Image size 240x240 | Axial plane | Brain
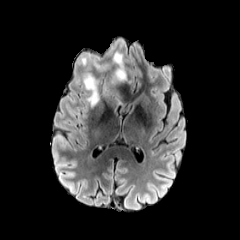
FLAIR magnetic resonance.
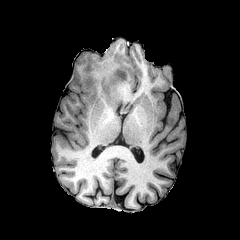
Same slice, T1-weighted MR.
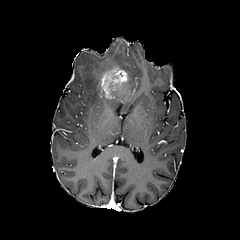
Post-contrast T1-weighted magnetic resonance.
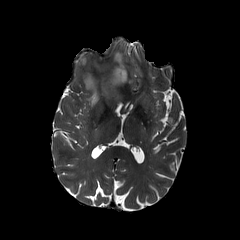
T2-weighted magnetic resonance.
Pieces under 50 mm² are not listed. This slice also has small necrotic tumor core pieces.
The 2 largest peritumoral edema regions are located at {"x1": 84, "y1": 72, "x2": 101, "y2": 108}, {"x1": 93, "y1": 50, "x2": 126, "y2": 72}. The enhancing tumor is at {"x1": 101, "y1": 68, "x2": 127, "y2": 98}.